FLAIR MR image.
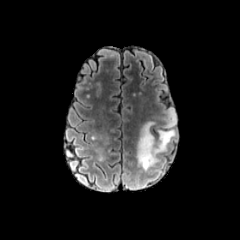
T1-weighted MRI.
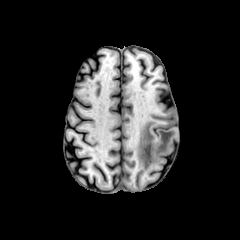
Post-contrast T1-weighted MR image.
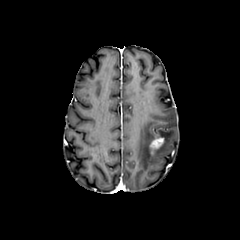
T2-weighted MR image.
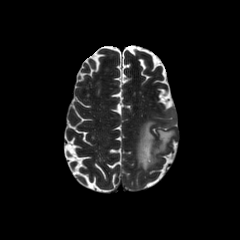
Brain
* peritumoral edema: 136:108:176:170
* enhancing tumor: 149:137:164:154